Head, Slice 72 of 155, Axial plane
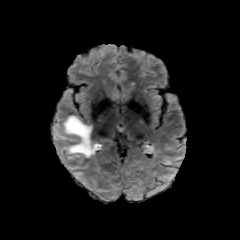
FLAIR MRI.
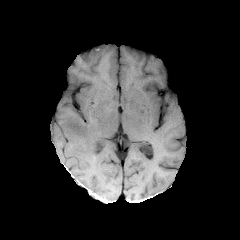
T1-weighted MR of the same slice.
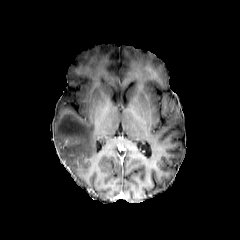
Post-contrast T1-weighted magnetic resonance.
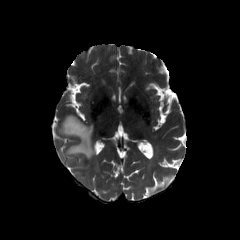
T2-weighted MR image.
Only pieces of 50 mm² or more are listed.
peritumoral edema: (55, 116, 96, 164)